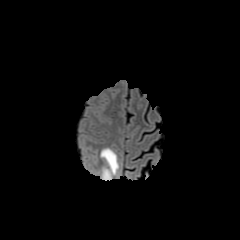
FLAIR MR.
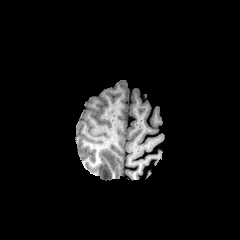
T1-weighted MR.
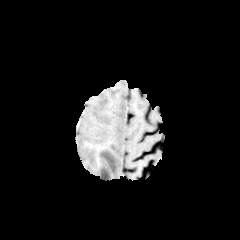
Post-contrast T1-weighted MRI.
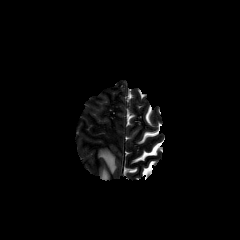
T2-weighted MRI of the same slice.
Brain
peritumoral edema: bounding box x1=100, y1=148, x2=119, y2=180